FLAIR MRI.
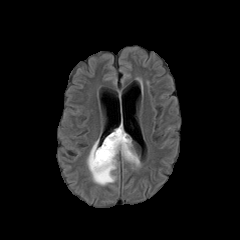
T1-weighted MR image.
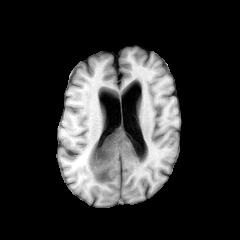
Post-contrast T1-weighted MR image.
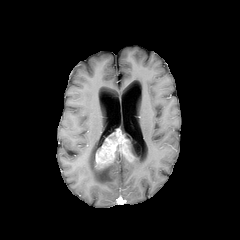
T2-weighted magnetic resonance.
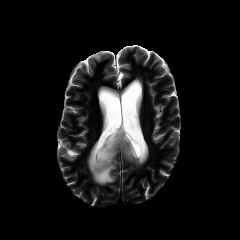
Axial view; Brain
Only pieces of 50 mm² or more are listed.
peritumoral edema — [128,158,140,166], [87,139,118,185]
enhancing tumor — [95,128,142,168]
necrotic tumor core — [125,135,139,157]